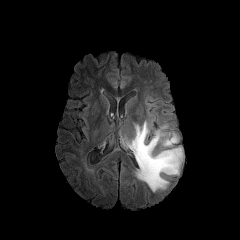
FLAIR MRI.
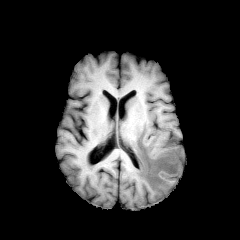
T1-weighted magnetic resonance.
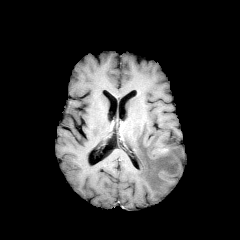
Post-contrast T1-weighted MR of the same slice.
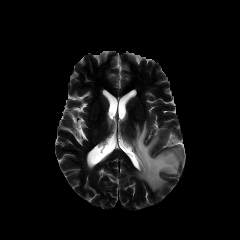
T2-weighted MR image of the same slice.
Head; Axial view
peritumoral edema: (127, 121, 183, 191)